Axial view. Brain. Image width 240 mm, 1.00 mm slice spacing.
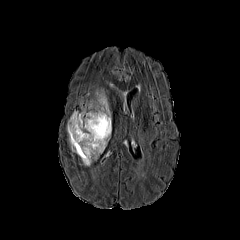
FLAIR magnetic resonance.
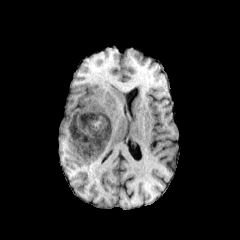
Same slice, T1-weighted MR image.
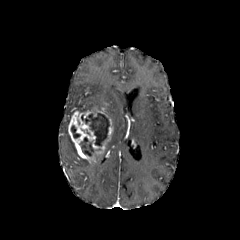
Post-contrast T1-weighted magnetic resonance of the same slice.
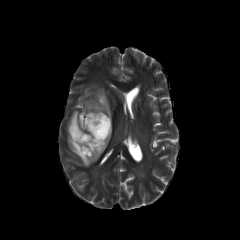
T2-weighted magnetic resonance of the same slice.
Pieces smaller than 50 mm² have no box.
Findings:
• peritumoral edema: box=[68, 135, 77, 153]; box=[95, 90, 107, 105]
• enhancing tumor: box=[68, 99, 112, 162]
• necrotic tumor core: box=[81, 113, 109, 146]; box=[81, 137, 91, 156]; box=[71, 125, 80, 137]